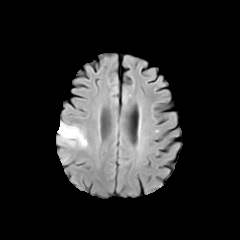
FLAIR MR image.
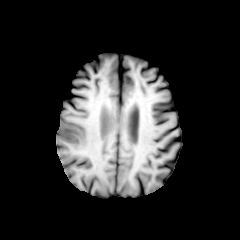
T1-weighted magnetic resonance.
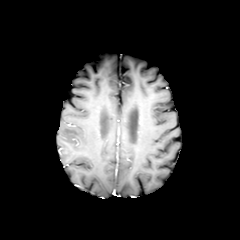
Same slice, post-contrast T1-weighted MRI.
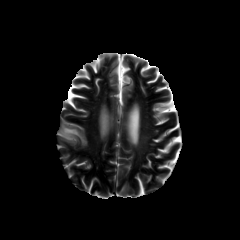
T2-weighted MR image of the same slice.
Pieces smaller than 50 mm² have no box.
The largest peritumoral edema region is bounded by 57 122 87 147.